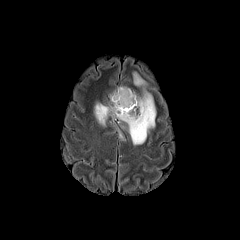
FLAIR MR image.
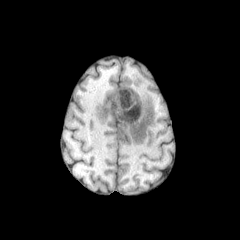
T1-weighted MR image.
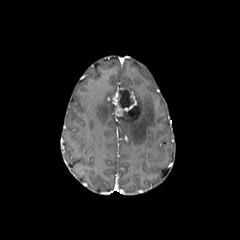
Post-contrast T1-weighted MRI.
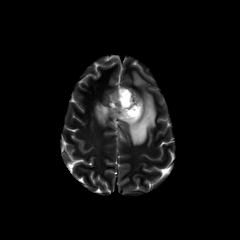
T2-weighted MRI of the same slice.
Axial plane.
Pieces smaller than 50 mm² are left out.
The 2 largest necrotic tumor core regions appear at <bbox>123, 106, 136, 115</bbox>, <bbox>118, 89, 133, 108</bbox>. The 2 largest peritumoral edema regions appear at <bbox>133, 72, 145, 85</bbox>, <bbox>95, 89, 156, 144</bbox>. The enhancing tumor is located at <bbox>112, 87, 136, 116</bbox>.